Image covers 240 mm x 240 mm. Axial view. Slice 28 of 155.
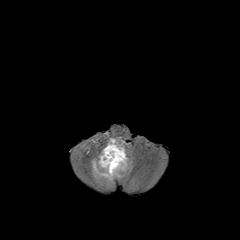
FLAIR MR image.
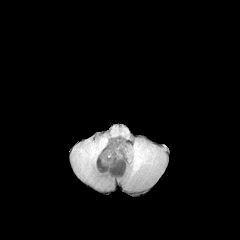
T1-weighted MR image of the same slice.
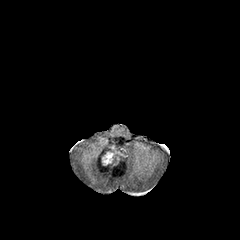
Same slice, post-contrast T1-weighted MR image.
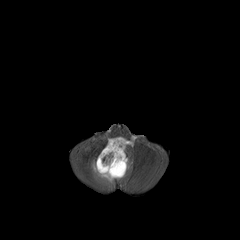
T2-weighted MR image.
* peritumoral edema: rect(92, 137, 130, 184)
* enhancing tumor: rect(99, 141, 126, 173)